Slice 61 of 155; Brain; Axial slice
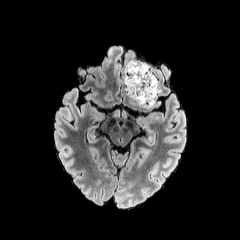
FLAIR MRI.
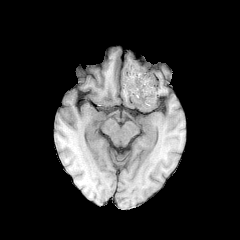
Same slice, T1-weighted MR image.
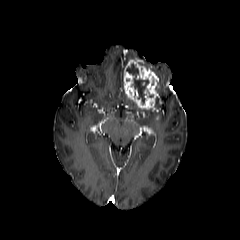
Post-contrast T1-weighted MRI.
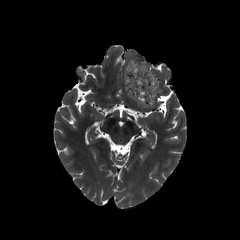
Same slice, T2-weighted MR.
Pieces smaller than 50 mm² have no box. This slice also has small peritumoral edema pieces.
<segmentation>
  <necrotic_tumor_core>[126,63,149,103]</necrotic_tumor_core>
  <enhancing_tumor>[123,58,159,109]</enhancing_tumor>
</segmentation>